Axial view, Brain
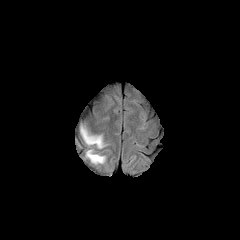
FLAIR MR.
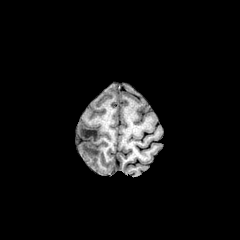
T1-weighted MR.
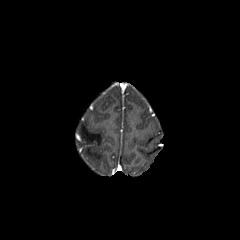
Post-contrast T1-weighted MR image of the same slice.
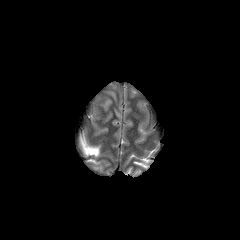
Same slice, T2-weighted magnetic resonance.
<segmentation>
  <peritumoral_edema>[85, 148, 104, 163], [81, 127, 102, 148]</peritumoral_edema>
</segmentation>